FLAIR MR image.
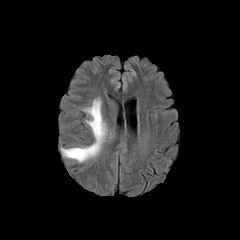
T1-weighted MRI.
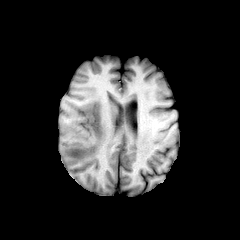
Post-contrast T1-weighted MR.
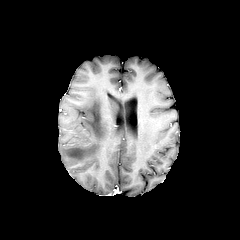
T2-weighted magnetic resonance.
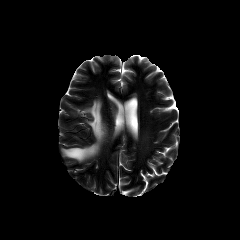
Axial slice. 240x240.
peritumoral edema = left=61, top=98, right=107, bottom=162